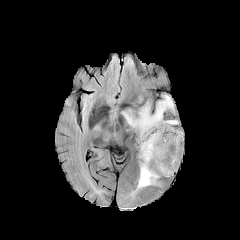
FLAIR MR.
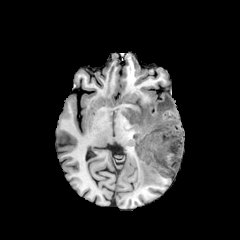
Same slice, T1-weighted magnetic resonance.
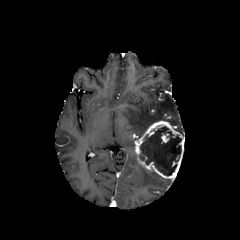
Same slice, post-contrast T1-weighted magnetic resonance.
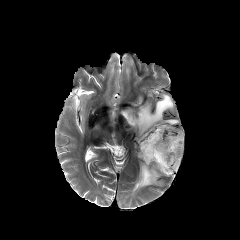
T2-weighted MRI of the same slice.
Head | 240x240 px
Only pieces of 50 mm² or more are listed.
Findings:
- enhancing tumor: bbox(161, 133, 169, 143); bbox(135, 120, 184, 178)
- necrotic tumor core: bbox(140, 126, 181, 175)
- peritumoral edema: bbox(122, 94, 174, 137); bbox(136, 164, 160, 189); bbox(163, 119, 178, 125)